Slice 64/155, Brain, Axial view
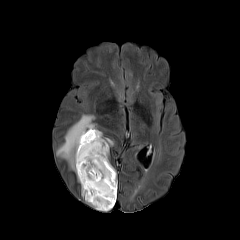
FLAIR magnetic resonance.
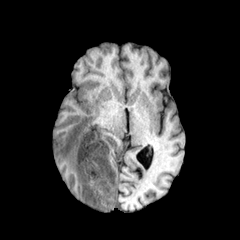
T1-weighted MR.
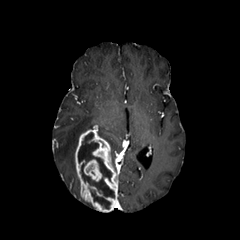
Post-contrast T1-weighted MRI.
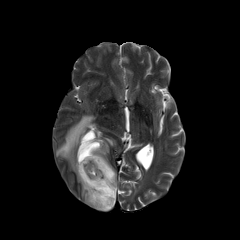
T2-weighted magnetic resonance.
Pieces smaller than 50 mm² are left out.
enhancing tumor = left=75, top=127, right=117, bottom=212; left=84, top=159, right=102, bottom=181
peritumoral edema = left=98, top=130, right=113, bottom=146; left=56, top=115, right=95, bottom=171
necrotic tumor core = left=78, top=132, right=114, bottom=198; left=90, top=189, right=110, bottom=209